Slice 76 of 155. Image covers 240 mm x 240 mm.
FLAIR MR.
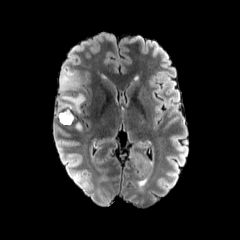
T1-weighted MR.
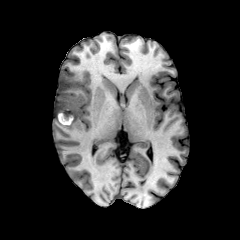
Post-contrast T1-weighted MR.
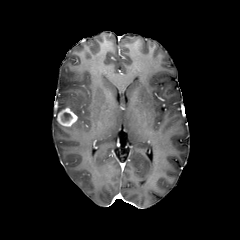
T2-weighted magnetic resonance.
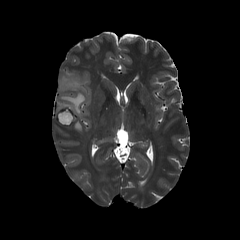
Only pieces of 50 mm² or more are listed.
necrotic_tumor_core:
  - <box>61,113,71,121</box>
peritumoral_edema:
  - <box>58,69,85,113</box>
enhancing_tumor:
  - <box>57,106,77,126</box>